FLAIR magnetic resonance.
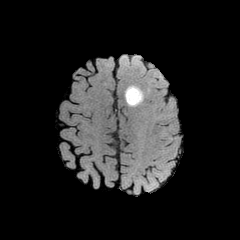
T1-weighted MR image.
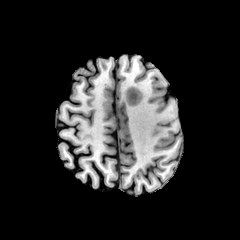
Post-contrast T1-weighted MR.
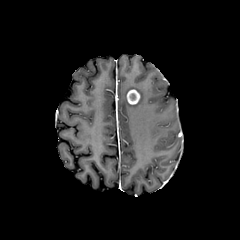
T2-weighted MR image.
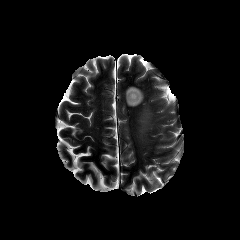
Axial view; Head
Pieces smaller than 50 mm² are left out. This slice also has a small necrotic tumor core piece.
enhancing tumor: bounding box 127:89:140:104
peritumoral edema: bounding box 125:86:143:106